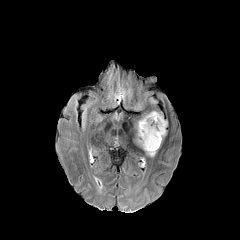
FLAIR magnetic resonance.
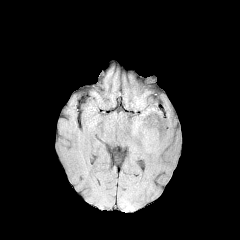
T1-weighted MR image.
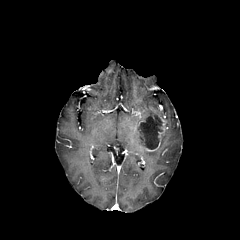
Post-contrast T1-weighted magnetic resonance.
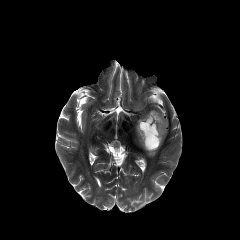
T2-weighted magnetic resonance.
Brain; 240x240; Axial view
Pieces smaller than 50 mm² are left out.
The largest peritumoral edema region lies within [x1=141, y1=111, x2=163, y2=119]. The largest enhancing tumor region appears at [x1=136, y1=114, x2=166, y2=151]. The necrotic tumor core is located at [x1=137, y1=115, x2=162, y2=149].